FLAIR MRI.
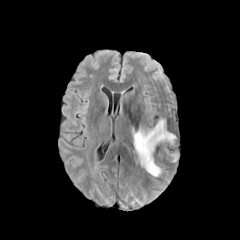
T1-weighted magnetic resonance.
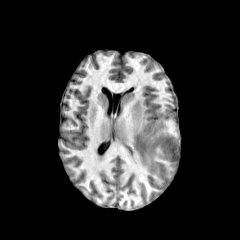
Post-contrast T1-weighted magnetic resonance.
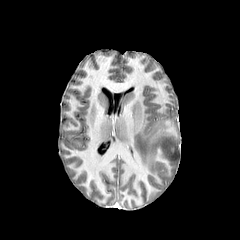
T2-weighted MRI.
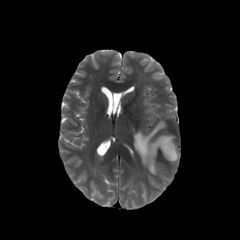
Head.
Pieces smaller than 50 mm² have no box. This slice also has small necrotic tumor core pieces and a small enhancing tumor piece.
<segmentation>
  <peritumoral_edema>x1=132 y1=120 x2=175 y2=176</peritumoral_edema>
</segmentation>